FLAIR MR image.
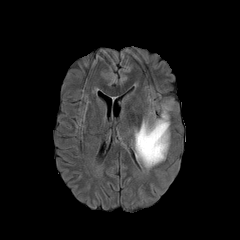
T1-weighted MR image.
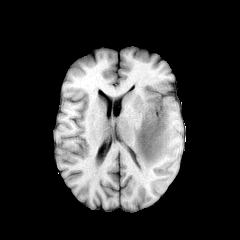
Post-contrast T1-weighted MRI.
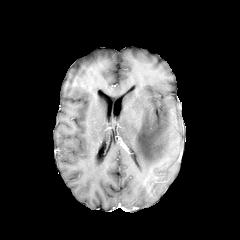
T2-weighted magnetic resonance.
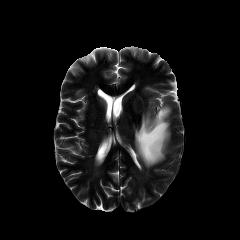
Head; Axial view
- peritumoral edema: {"x1": 134, "y1": 104, "x2": 170, "y2": 168}